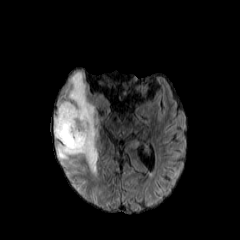
FLAIR magnetic resonance.
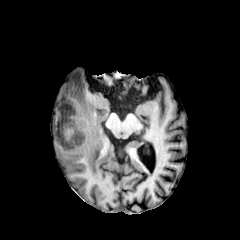
T1-weighted MRI.
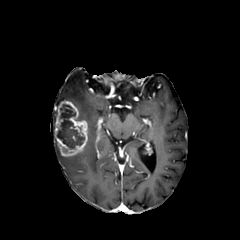
Post-contrast T1-weighted MRI.
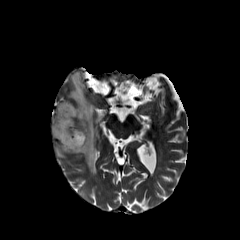
T2-weighted MRI.
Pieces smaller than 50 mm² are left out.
Findings:
- enhancing tumor: 54,100,87,156
- necrotic tumor core: 57,104,84,148
- peritumoral edema: 56,141,71,162; 66,71,98,175